FLAIR MR image.
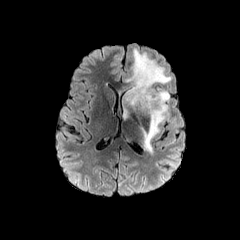
T1-weighted MRI.
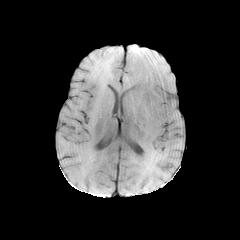
Post-contrast T1-weighted MR.
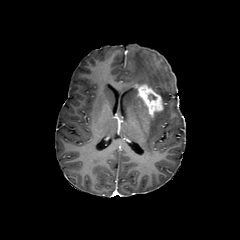
T2-weighted magnetic resonance.
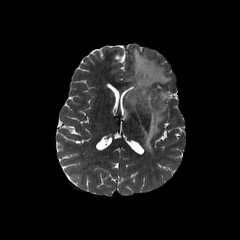
Head
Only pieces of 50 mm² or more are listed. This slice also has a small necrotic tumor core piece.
The enhancing tumor lies within 134, 83, 165, 118. 3 peritumoral edema regions are bounded by 122, 49, 171, 119; 141, 104, 168, 154; 153, 88, 169, 102.